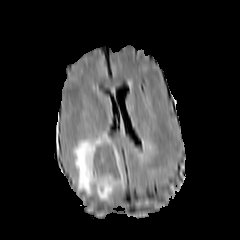
FLAIR MRI.
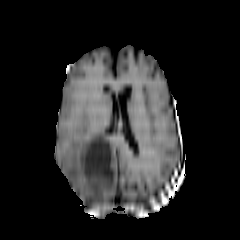
T1-weighted MR of the same slice.
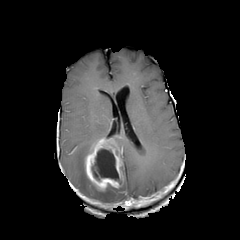
Post-contrast T1-weighted MR image of the same slice.
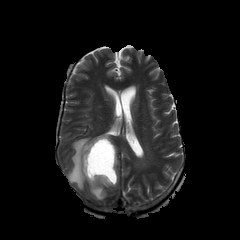
Same slice, T2-weighted magnetic resonance.
Axial plane, 240x240 px
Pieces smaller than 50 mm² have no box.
The largest necrotic tumor core region is located at {"x1": 91, "y1": 148, "x2": 120, "y2": 183}. The enhancing tumor is located at {"x1": 84, "y1": 137, "x2": 122, "y2": 190}. 2 peritumoral edema regions are located at {"x1": 120, "y1": 166, "x2": 124, "y2": 187}, {"x1": 73, "y1": 133, "x2": 116, "y2": 200}.